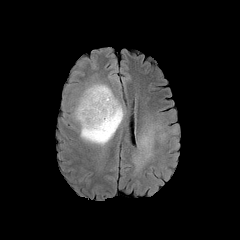
FLAIR MR image.
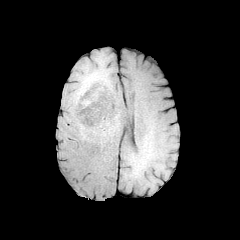
T1-weighted MR image.
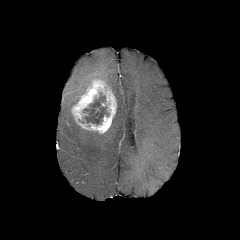
Post-contrast T1-weighted MR image of the same slice.
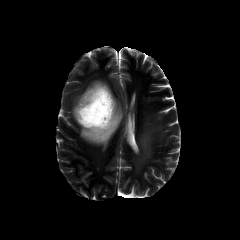
T2-weighted magnetic resonance.
Head | Axial view
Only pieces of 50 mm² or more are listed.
The largest necrotic tumor core region appears at 83, 92, 109, 124. The largest enhancing tumor region is located at 72, 80, 116, 133. The 2 largest peritumoral edema regions are bounded by 135, 114, 178, 169; 79, 98, 124, 145.